Slice 26 of 155 | Image covers 240 mm x 240 mm
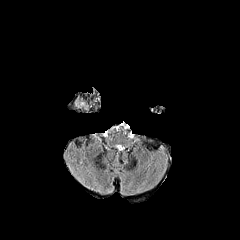
FLAIR magnetic resonance.
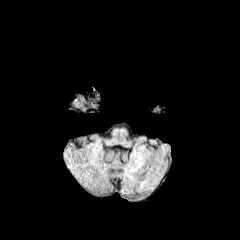
Same slice, T1-weighted magnetic resonance.
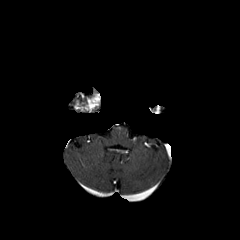
Post-contrast T1-weighted MR of the same slice.
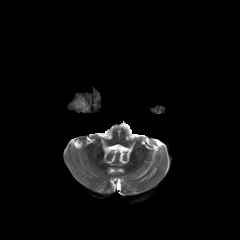
T2-weighted MR image of the same slice.
Segmented structures:
• enhancing tumor: [74, 93, 100, 110]